Image width 240 mm. Slice 52/155. 240x240.
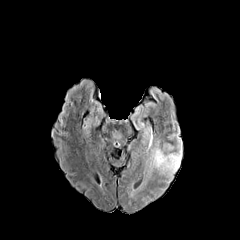
FLAIR MR image.
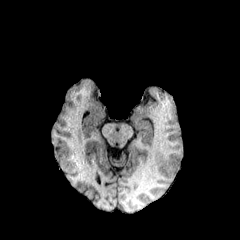
T1-weighted MR image.
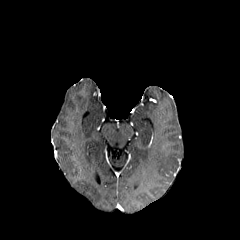
Post-contrast T1-weighted MR image.
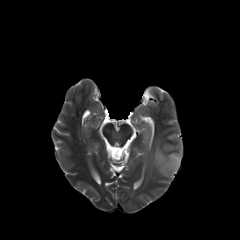
Same slice, T2-weighted MR image.
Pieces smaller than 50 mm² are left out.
Findings:
* peritumoral edema: x1=149 y1=139 x2=181 y2=174, x1=141 y1=125 x2=150 y2=139